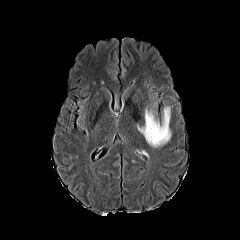
FLAIR magnetic resonance.
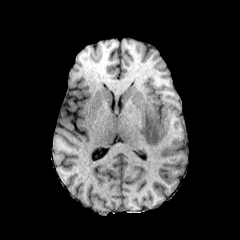
T1-weighted magnetic resonance.
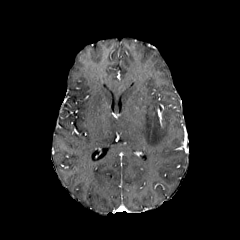
Same slice, post-contrast T1-weighted MRI.
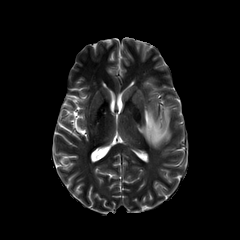
T2-weighted magnetic resonance.
Head
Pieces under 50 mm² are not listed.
peritumoral_edema:
  - box(137, 93, 173, 147)